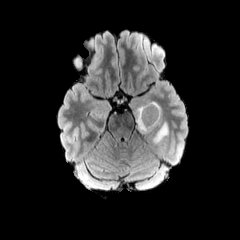
FLAIR MR image.
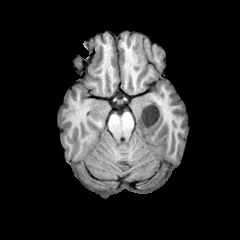
T1-weighted MRI.
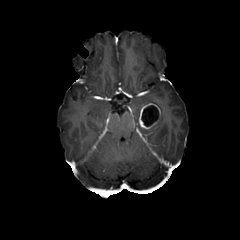
Post-contrast T1-weighted MR image.
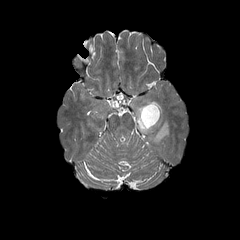
T2-weighted MR.
Axial view. 240x240 px.
The peritumoral edema appears at 135:100:168:144. The enhancing tumor is bounded by 138:103:160:129. The necrotic tumor core is located at 141:105:158:126.